Axial plane | Image size 240x240 | Image width 240 mm, 1.00 mm slice spacing
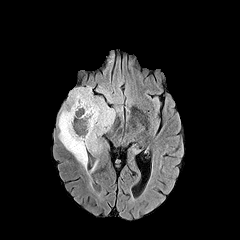
FLAIR MRI.
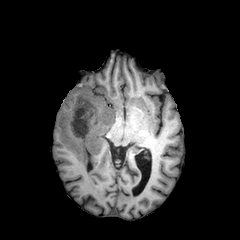
T1-weighted magnetic resonance.
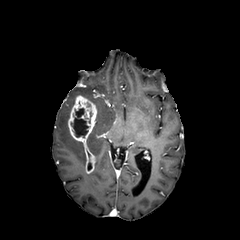
Post-contrast T1-weighted magnetic resonance of the same slice.
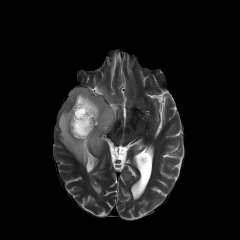
T2-weighted MRI.
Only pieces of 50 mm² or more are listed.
<segmentation>
  <enhancing_tumor>(68,95,97,173)</enhancing_tumor>
  <peritumoral_edema>(58,86,119,166), (97,86,113,102)</peritumoral_edema>
  <necrotic_tumor_core>(71,108,88,137)</necrotic_tumor_core>
</segmentation>